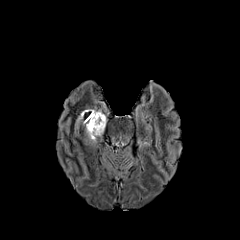
FLAIR MR image.
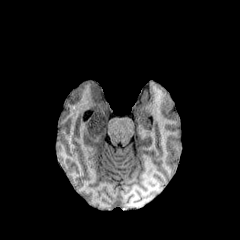
Same slice, T1-weighted MRI.
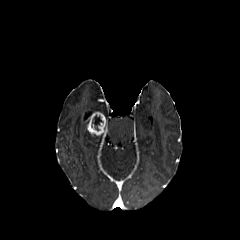
Post-contrast T1-weighted MR image.
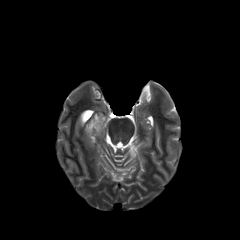
T2-weighted MR image.
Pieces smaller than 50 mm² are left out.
necrotic tumor core: (92, 115, 102, 130)
peritumoral edema: (83, 121, 96, 144)
enhancing tumor: (85, 112, 106, 136)